FLAIR MR.
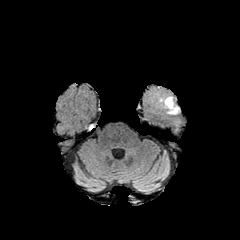
T1-weighted MR.
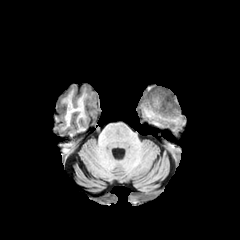
Post-contrast T1-weighted MR.
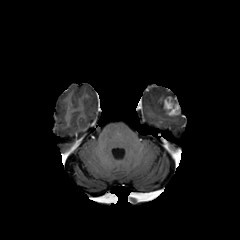
T2-weighted MR image.
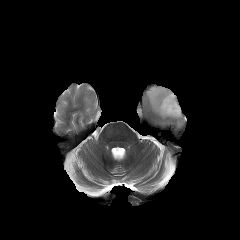
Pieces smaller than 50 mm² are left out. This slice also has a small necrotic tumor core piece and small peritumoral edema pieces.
<segmentation>
  <enhancing_tumor>rect(164, 96, 179, 115)</enhancing_tumor>
</segmentation>